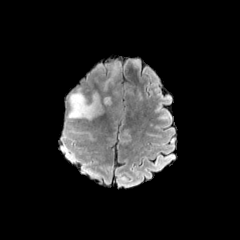
FLAIR MRI.
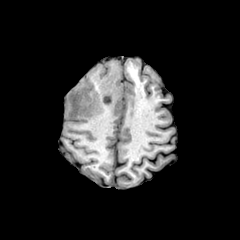
T1-weighted magnetic resonance of the same slice.
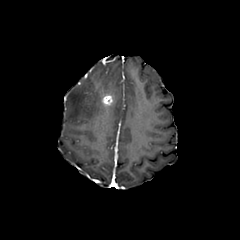
Post-contrast T1-weighted MR.
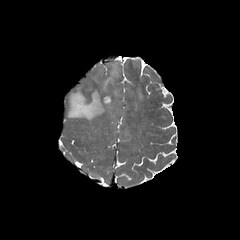
Same slice, T2-weighted MR.
240x240. Head.
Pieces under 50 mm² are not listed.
The largest peritumoral edema region is located at [x1=67, y1=61, x2=120, y2=120]. The enhancing tumor lies within [x1=102, y1=94, x2=112, y2=105].